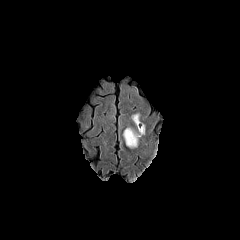
FLAIR MRI.
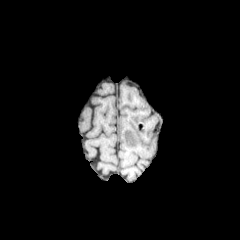
T1-weighted magnetic resonance.
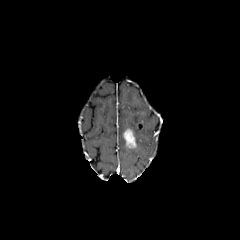
Post-contrast T1-weighted MR image of the same slice.
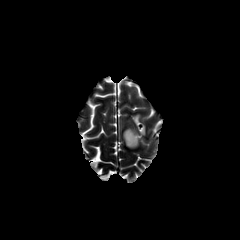
T2-weighted MRI.
enhancing tumor: bounding box x1=123, y1=129, x2=136, y2=148
peritumoral edema: bounding box x1=124, y1=127, x2=141, y2=146